Brain
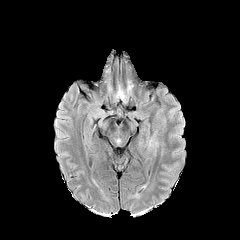
FLAIR MR image.
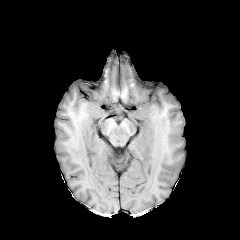
Same slice, T1-weighted MR image.
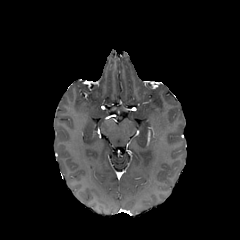
Post-contrast T1-weighted MRI.
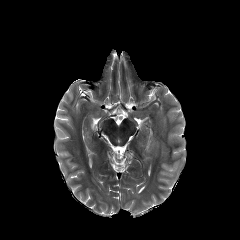
T2-weighted MR of the same slice.
peritumoral_edema:
  - bbox(149, 137, 158, 147)